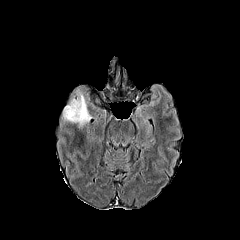
FLAIR MR.
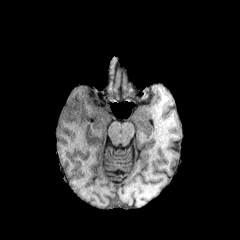
T1-weighted MR image.
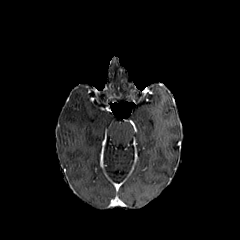
Post-contrast T1-weighted MRI.
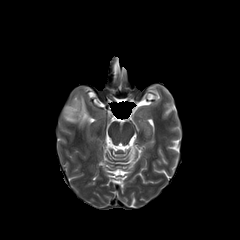
Same slice, T2-weighted MRI.
Brain, 240x240 px, Axial view
peritumoral edema: [63, 92, 91, 127]